FLAIR magnetic resonance.
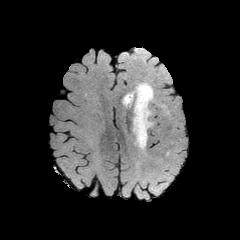
T1-weighted magnetic resonance.
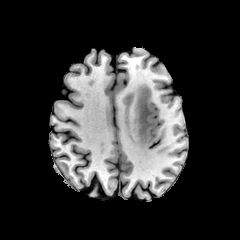
Post-contrast T1-weighted MR.
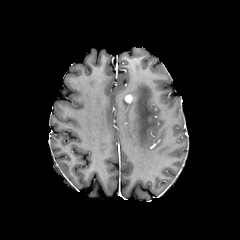
T2-weighted MR image.
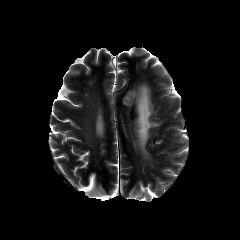
Brain
enhancing tumor: [125,94,133,103]
peritumoral edema: [122,82,153,155]